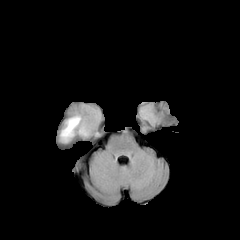
FLAIR MR.
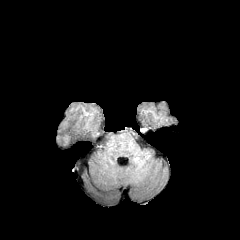
Same slice, T1-weighted MRI.
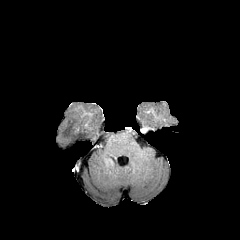
Post-contrast T1-weighted MRI.
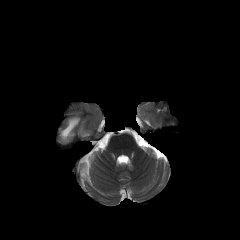
T2-weighted MRI.
240x240 | Axial slice | Brain
2 peritumoral edema regions are bounded by (78,126,89,136), (60,116,80,142).